FLAIR MR image.
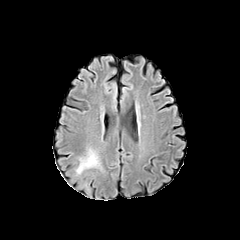
T1-weighted MR.
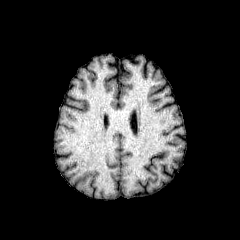
Post-contrast T1-weighted MRI.
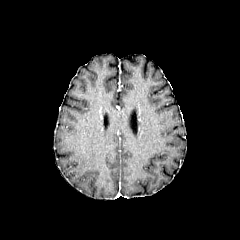
T2-weighted MR.
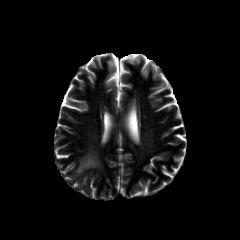
Axial view.
The peritumoral edema lies within 77, 152, 98, 173.